FLAIR MR image.
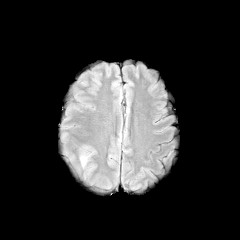
T1-weighted MRI.
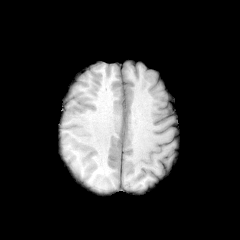
Post-contrast T1-weighted MR image.
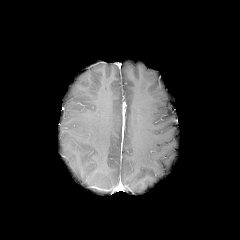
T2-weighted MR image.
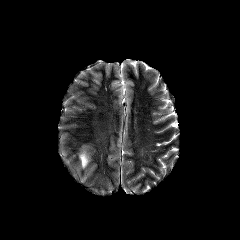
Head
peritumoral_edema:
  - [x1=80, y1=154, x2=87, y2=166]